FLAIR MR.
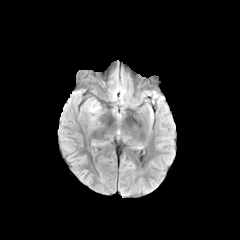
T1-weighted MR image.
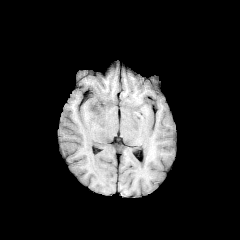
Post-contrast T1-weighted MRI.
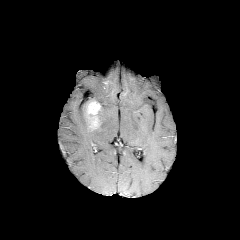
T2-weighted MR.
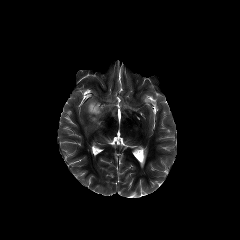
Image size 240x240
peritumoral edema: [99,109,108,128], [77,106,91,133]
enhancing tumor: [83,98,107,131]